FLAIR MRI.
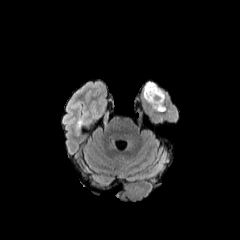
T1-weighted magnetic resonance.
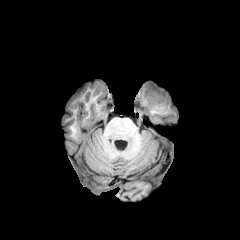
Post-contrast T1-weighted MR.
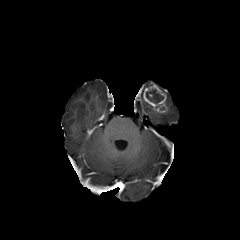
T2-weighted magnetic resonance.
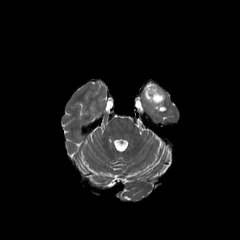
240x240
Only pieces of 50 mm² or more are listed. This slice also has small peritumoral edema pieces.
<segmentation>
  <enhancing_tumor>[x1=143, y1=82, x2=167, y2=112]</enhancing_tumor>
  <necrotic_tumor_core>[x1=146, y1=89, x2=163, y2=103]</necrotic_tumor_core>
</segmentation>